Head
FLAIR MR image.
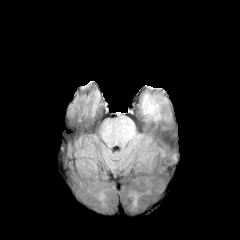
T1-weighted MRI.
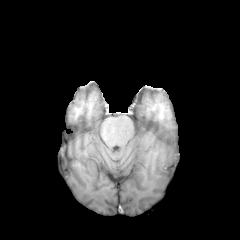
Post-contrast T1-weighted MR.
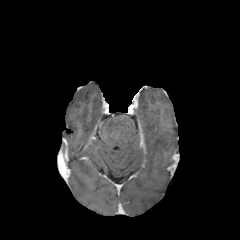
T2-weighted MRI.
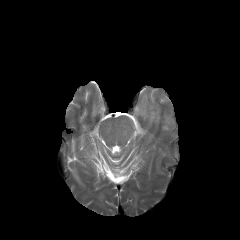
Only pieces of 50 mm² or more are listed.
peritumoral_edema:
  - x1=142 y1=96 x2=158 y2=115
  - x1=162 y1=151 x2=178 y2=165